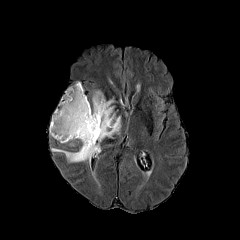
FLAIR MR.
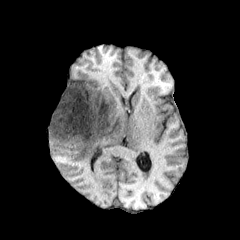
T1-weighted magnetic resonance.
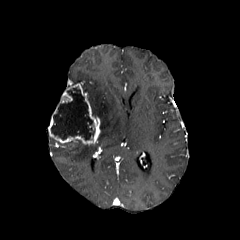
Same slice, post-contrast T1-weighted MRI.
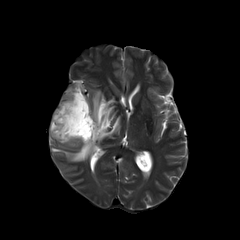
T2-weighted MRI.
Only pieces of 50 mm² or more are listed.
necrotic_tumor_core:
  - {"x1": 51, "y1": 87, "x2": 94, "y2": 140}
enhancing_tumor:
  - {"x1": 48, "y1": 83, "x2": 100, "y2": 146}
peritumoral_edema:
  - {"x1": 51, "y1": 90, "x2": 121, "y2": 162}